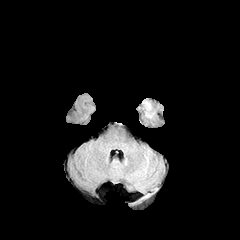
FLAIR MR image.
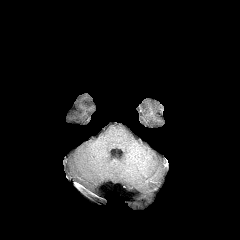
T1-weighted MR.
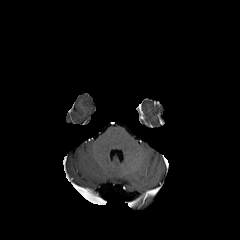
Post-contrast T1-weighted MR image of the same slice.
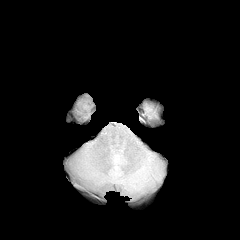
T2-weighted MR image of the same slice.
Segmented structures:
* peritumoral edema: rect(145, 102, 151, 117)